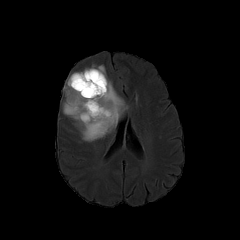
FLAIR MR image.
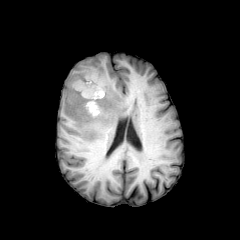
T1-weighted MR.
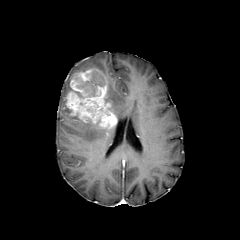
Post-contrast T1-weighted magnetic resonance.
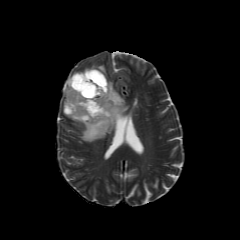
T2-weighted magnetic resonance.
Axial view
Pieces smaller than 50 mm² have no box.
<segmentation>
  <peritumoral_edema>[63,72,115,141], [79,65,127,119]</peritumoral_edema>
  <enhancing_tumor>[66,68,117,128]</enhancing_tumor>
  <necrotic_tumor_core>[77,71,105,96]</necrotic_tumor_core>
</segmentation>